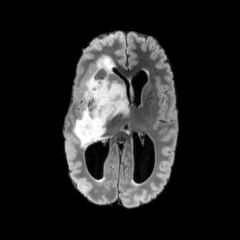
FLAIR magnetic resonance.
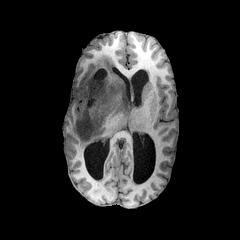
T1-weighted MR image of the same slice.
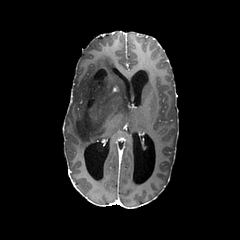
Same slice, post-contrast T1-weighted magnetic resonance.
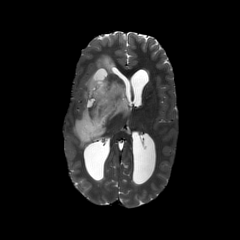
T2-weighted MR image of the same slice.
Brain
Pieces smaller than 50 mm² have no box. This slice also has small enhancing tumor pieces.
necrotic tumor core: box(94, 69, 106, 79)
peritumoral edema: box(73, 55, 129, 148)